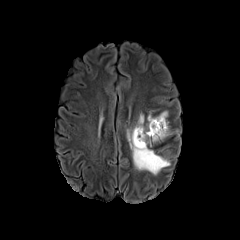
FLAIR MR.
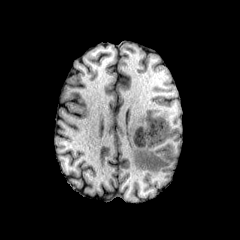
T1-weighted MRI.
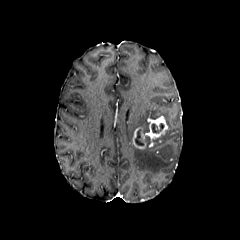
Same slice, post-contrast T1-weighted MR.
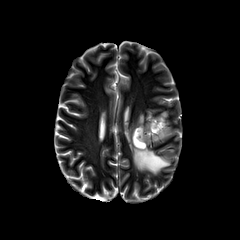
T2-weighted MR image.
Brain | 240x240 px
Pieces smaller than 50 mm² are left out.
Annotated regions:
• peritumoral edema: region(153, 128, 169, 141); region(127, 113, 170, 174)
• necrotic tumor core: region(135, 129, 143, 145); region(152, 123, 163, 132)
• enhancing tumor: region(132, 116, 168, 149)